FLAIR magnetic resonance.
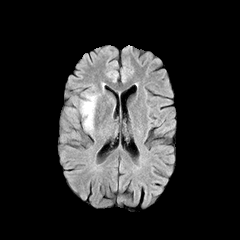
T1-weighted MRI.
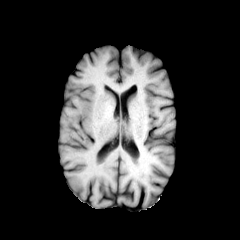
Post-contrast T1-weighted MRI.
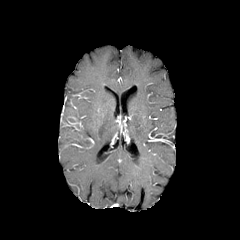
T2-weighted magnetic resonance.
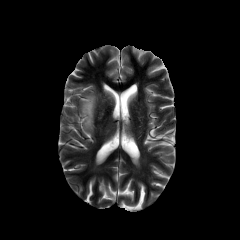
Image size 240x240 | Axial view
peritumoral edema — (left=80, top=92, right=96, bottom=131)